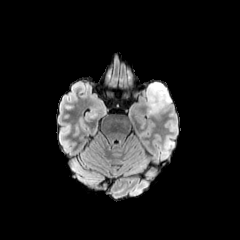
FLAIR magnetic resonance.
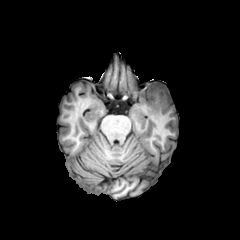
Same slice, T1-weighted MR.
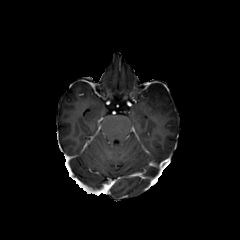
Same slice, post-contrast T1-weighted MR.
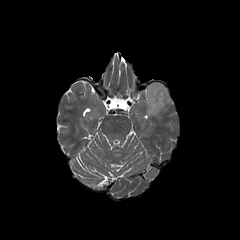
T2-weighted magnetic resonance of the same slice.
240x240
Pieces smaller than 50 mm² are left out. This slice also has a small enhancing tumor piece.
peritumoral_edema:
  - 145:82:171:115